FLAIR magnetic resonance.
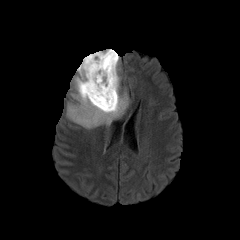
T1-weighted MR.
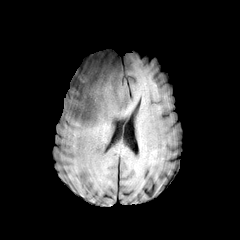
Post-contrast T1-weighted MR.
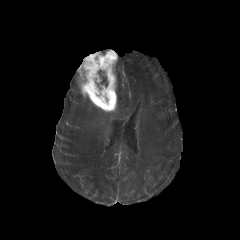
T2-weighted MR image.
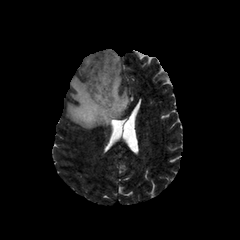
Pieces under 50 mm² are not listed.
The largest peritumoral edema region lies within [66,56,129,129]. The enhancing tumor lies within [77,50,117,111]. The largest necrotic tumor core region is bounded by [101,76,107,86].